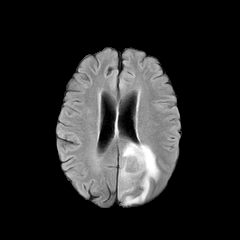
FLAIR MRI.
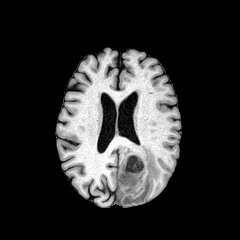
T1-weighted magnetic resonance.
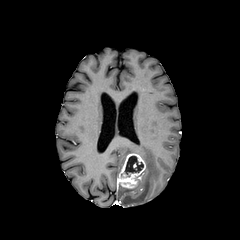
Same slice, post-contrast T1-weighted MR.
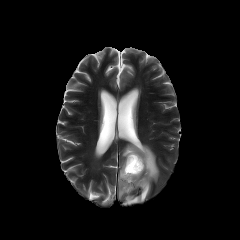
Same slice, T2-weighted MRI.
Brain | Axial plane
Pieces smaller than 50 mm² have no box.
Findings:
• peritumoral edema: x1=121 y1=143 x2=159 y2=204, x1=119 y1=186 x2=133 y2=196
• necrotic tumor core: x1=125 y1=156 x2=143 y2=174
• enhancing tumor: x1=118 y1=153 x2=145 y2=188